Slice 81/155. Brain.
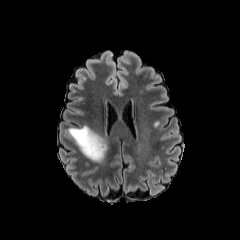
FLAIR magnetic resonance.
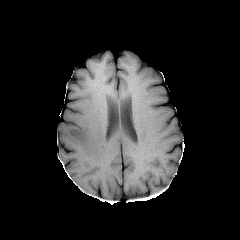
Same slice, T1-weighted MR.
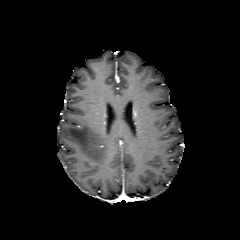
Post-contrast T1-weighted MRI of the same slice.
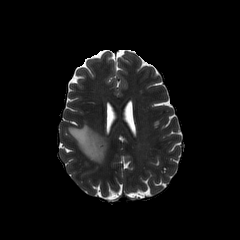
T2-weighted magnetic resonance of the same slice.
peritumoral edema — left=67, top=125, right=106, bottom=162